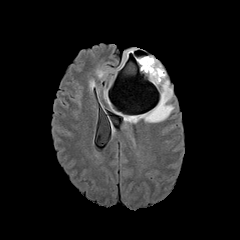
FLAIR MR.
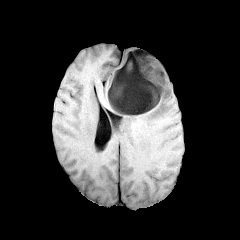
T1-weighted MR.
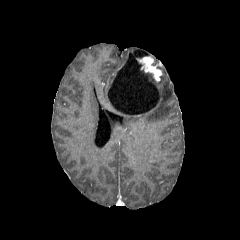
Post-contrast T1-weighted MRI.
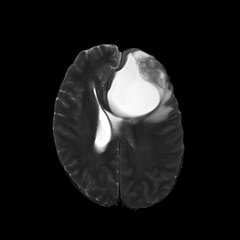
T2-weighted MR image.
Axial view, Brain
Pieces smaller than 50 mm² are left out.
enhancing tumor: x1=139, y1=56, x2=162, y2=82; x1=115, y1=54, x2=128, y2=78
peritumoral edema: x1=116, y1=67, x2=173, y2=122
necrotic tumor core: x1=108, y1=50, x2=159, y2=115